Head
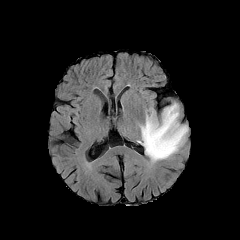
FLAIR MR image.
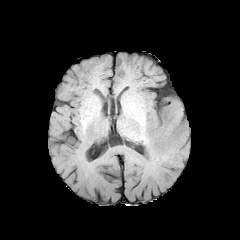
T1-weighted MR.
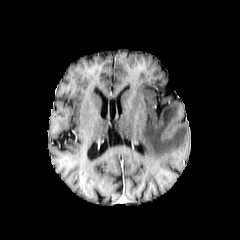
Post-contrast T1-weighted magnetic resonance of the same slice.
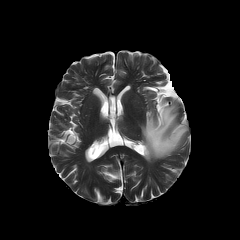
T2-weighted MRI of the same slice.
The peritumoral edema appears at (139, 103, 188, 161).